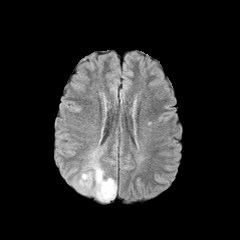
FLAIR magnetic resonance.
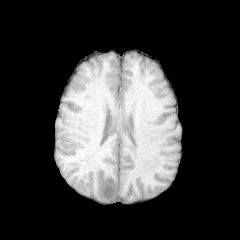
T1-weighted magnetic resonance of the same slice.
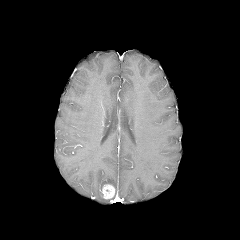
Post-contrast T1-weighted MRI of the same slice.
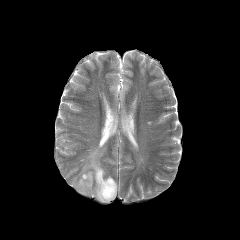
T2-weighted MRI.
peritumoral edema: bounding box (x1=72, y1=148, x2=117, y2=202)
enhancing tumor: bounding box (x1=100, y1=184, x2=115, y2=199)